Axial plane | Slice 99/155 | 240x240
FLAIR MR image.
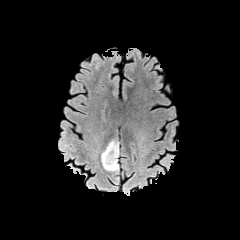
T1-weighted magnetic resonance.
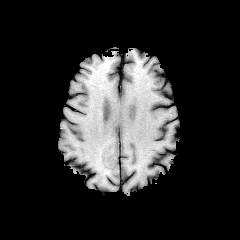
Post-contrast T1-weighted MR.
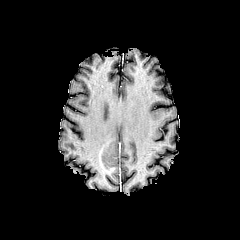
T2-weighted magnetic resonance.
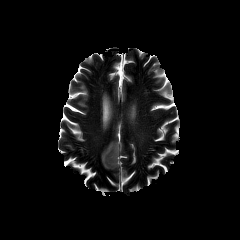
peritumoral edema: (left=101, top=141, right=118, bottom=169)
enhancing tumor: (left=99, top=138, right=116, bottom=171)